FLAIR magnetic resonance.
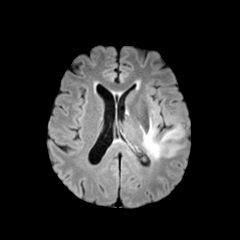
T1-weighted MR image.
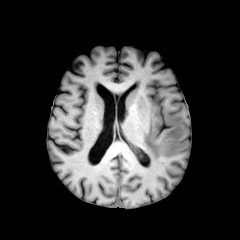
Post-contrast T1-weighted MR.
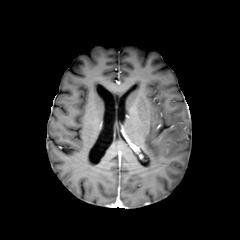
T2-weighted MR.
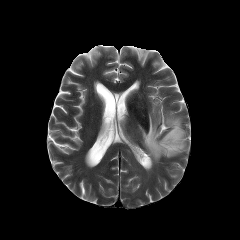
Axial slice, Head
Segmented structures:
* peritumoral edema: (141, 118, 184, 160)